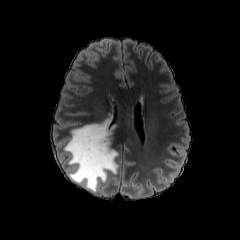
FLAIR MR image.
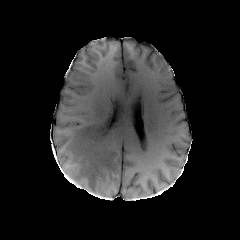
T1-weighted MR.
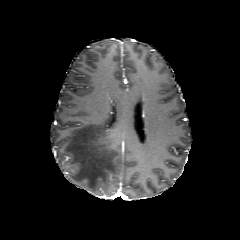
Post-contrast T1-weighted MRI.
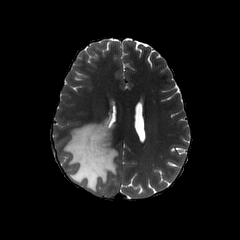
Same slice, T2-weighted MR.
Axial plane, 240x240 px
peritumoral edema = 64:118:118:192